Axial plane; Slice index 109
FLAIR magnetic resonance.
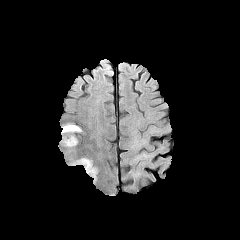
T1-weighted MR image.
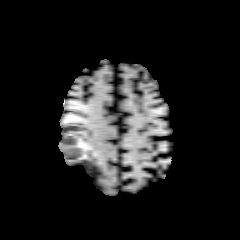
Post-contrast T1-weighted MR image.
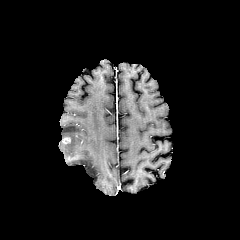
T2-weighted MR image.
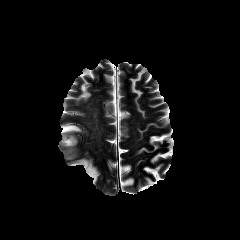
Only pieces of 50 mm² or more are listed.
The 3 largest peritumoral edema regions appear at <box>62,135,77,147</box>, <box>61,123,81,133</box>, <box>72,158,97,181</box>. The largest enhancing tumor region is at <box>62,137,70,144</box>.